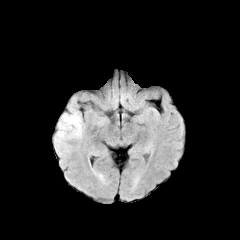
FLAIR MR image.
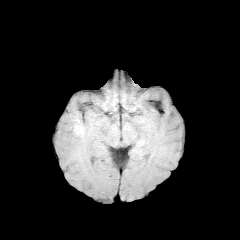
Same slice, T1-weighted MRI.
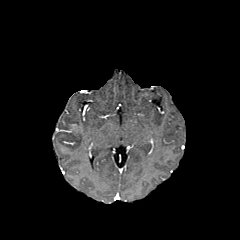
Post-contrast T1-weighted MRI of the same slice.
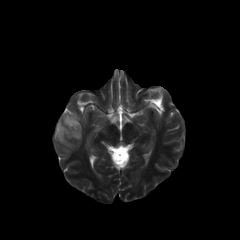
T2-weighted MR.
240x240
peritumoral_edema:
  - left=54, top=97, right=84, bottom=155
enhancing_tumor:
  - left=71, top=124, right=79, bottom=132